FLAIR MR image.
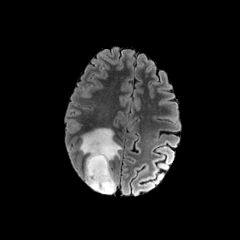
T1-weighted MRI.
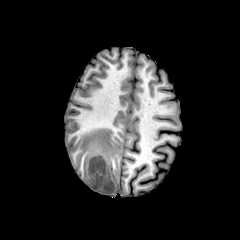
Post-contrast T1-weighted MR image.
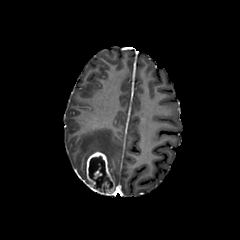
T2-weighted MRI.
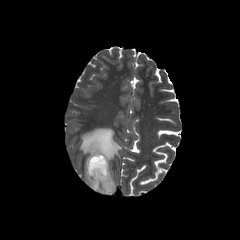
Image size 240x240 | Head
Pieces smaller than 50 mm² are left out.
enhancing tumor: l=86, t=151, r=116, b=194 | necrotic tumor core: l=88, t=156, r=112, b=192 | peritumoral edema: l=79, t=128, r=121, b=182